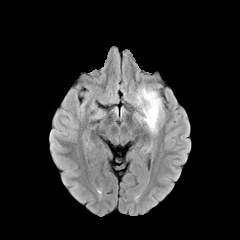
FLAIR magnetic resonance.
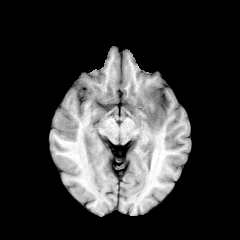
T1-weighted MRI.
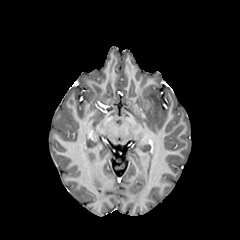
Post-contrast T1-weighted magnetic resonance.
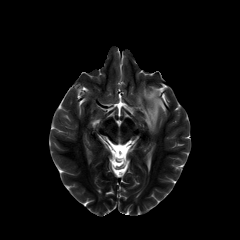
T2-weighted magnetic resonance of the same slice.
Head.
The peritumoral edema is at {"x1": 136, "y1": 86, "x2": 163, "y2": 133}.